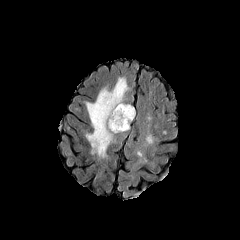
FLAIR MRI.
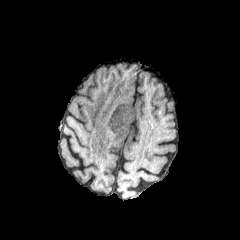
T1-weighted magnetic resonance.
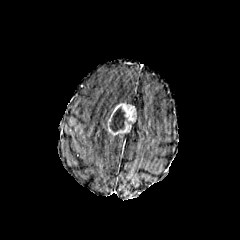
Post-contrast T1-weighted MR image of the same slice.
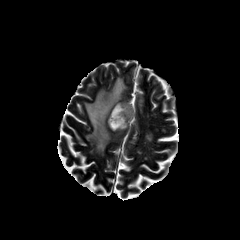
Same slice, T2-weighted MR image.
Head
Annotated regions:
- necrotic tumor core: 110, 107, 126, 131
- enhancing tumor: 107, 103, 136, 135
- peritumoral edema: 85, 77, 128, 158